Slice 102 of 155, Head, Image covers 240 mm x 240 mm
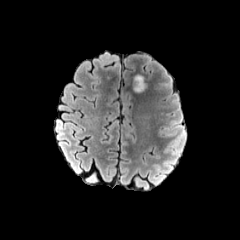
FLAIR MR.
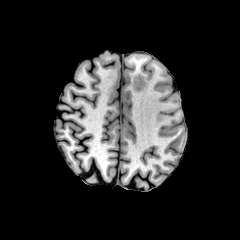
T1-weighted MR.
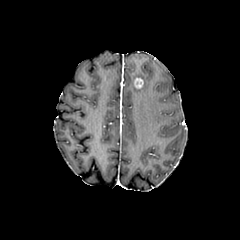
Post-contrast T1-weighted MR image of the same slice.
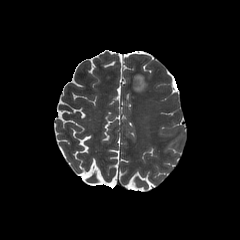
Same slice, T2-weighted magnetic resonance.
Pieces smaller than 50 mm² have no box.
Findings:
- enhancing tumor: [134,78,143,88]
- peritumoral edema: [134,82,146,92]